240x240 | Slice index 66 | Head
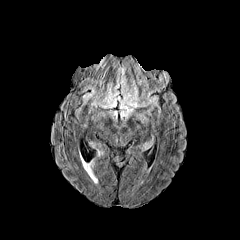
FLAIR magnetic resonance.
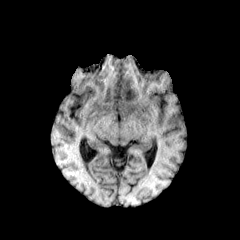
T1-weighted MR.
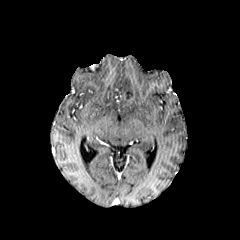
Same slice, post-contrast T1-weighted MR image.
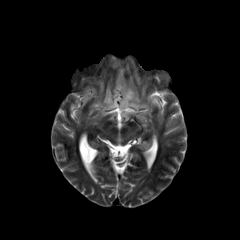
T2-weighted MR.
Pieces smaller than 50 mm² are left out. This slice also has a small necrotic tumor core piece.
Annotated regions:
* enhancing tumor: region(122, 91, 135, 103)
* peritumoral edema: region(98, 67, 145, 118)